FLAIR MRI.
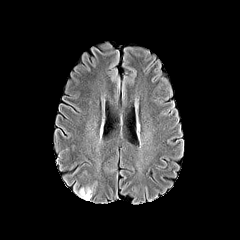
T1-weighted MR image.
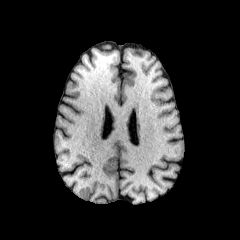
Post-contrast T1-weighted MR.
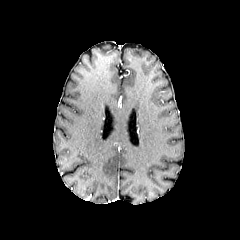
T2-weighted magnetic resonance.
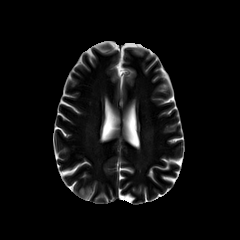
Brain, Axial view
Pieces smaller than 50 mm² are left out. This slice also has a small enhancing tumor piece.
peritumoral_edema:
  - region(77, 187, 92, 199)